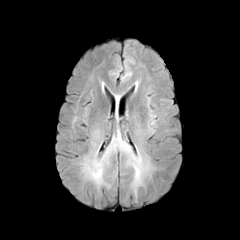
FLAIR MR image.
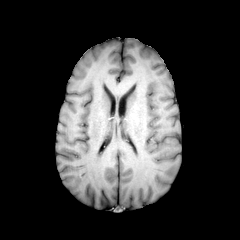
T1-weighted MR.
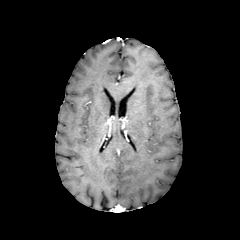
Post-contrast T1-weighted MR image.
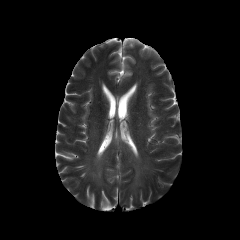
Same slice, T2-weighted magnetic resonance.
240x240 | Axial plane
2 peritumoral edema regions are bounded by [86, 156, 104, 183], [113, 134, 149, 193].